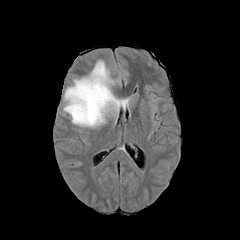
FLAIR MR image.
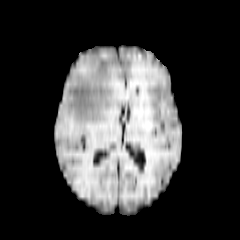
T1-weighted magnetic resonance of the same slice.
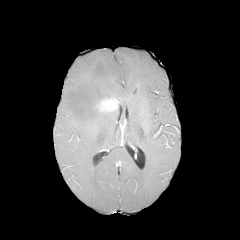
Post-contrast T1-weighted MR image.
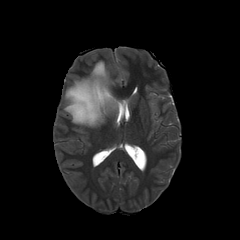
T2-weighted magnetic resonance of the same slice.
Axial slice
<segmentation>
  <peritumoral_edema>left=63, top=60, right=130, bottom=127</peritumoral_edema>
  <enhancing_tumor>left=97, top=98, right=118, bottom=111</enhancing_tumor>
</segmentation>